Axial slice. Slice index 46.
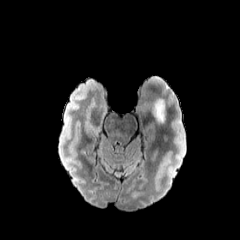
FLAIR MRI.
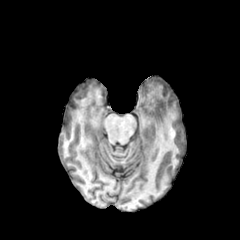
T1-weighted MR of the same slice.
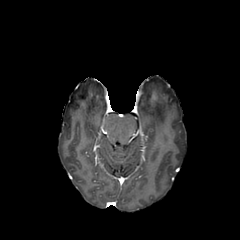
Post-contrast T1-weighted MR image.
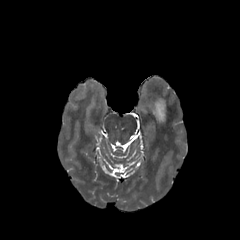
T2-weighted magnetic resonance.
peritumoral edema: {"x1": 153, "y1": 99, "x2": 165, "y2": 123}